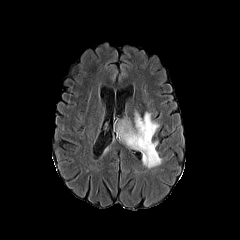
FLAIR MRI.
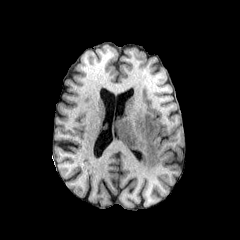
T1-weighted magnetic resonance of the same slice.
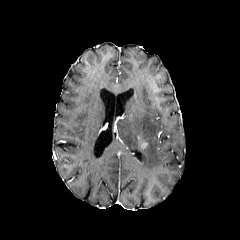
Post-contrast T1-weighted MR image.
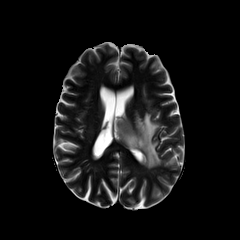
Same slice, T2-weighted magnetic resonance.
Axial plane.
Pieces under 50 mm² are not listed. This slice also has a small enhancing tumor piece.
peritumoral edema: <box>117,112,162,168</box>